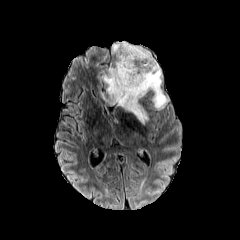
FLAIR MR.
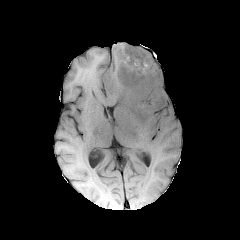
T1-weighted magnetic resonance.
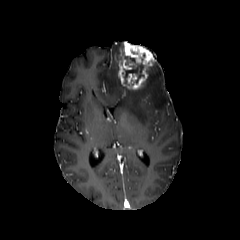
Same slice, post-contrast T1-weighted MR.
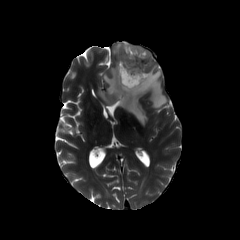
T2-weighted MRI of the same slice.
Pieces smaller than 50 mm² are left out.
<segmentation>
  <necrotic_tumor_core>bbox=[125, 63, 143, 82]</necrotic_tumor_core>
  <peritumoral_edema>bbox=[100, 41, 168, 124]</peritumoral_edema>
  <enhancing_tumor>bbox=[117, 41, 155, 90]</enhancing_tumor>
</segmentation>